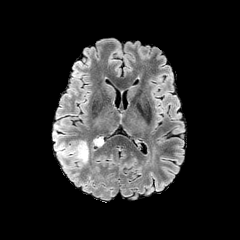
FLAIR MR.
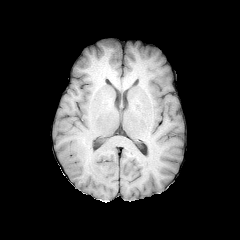
T1-weighted MR.
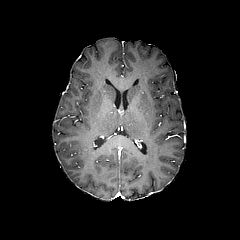
Post-contrast T1-weighted MR.
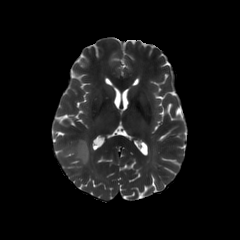
T2-weighted MR image.
The peritumoral edema is at <box>65,141,88,164</box>.